FLAIR magnetic resonance.
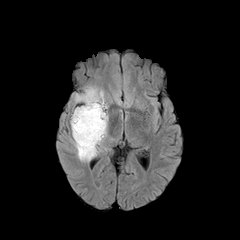
T1-weighted MRI.
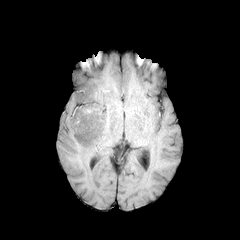
Post-contrast T1-weighted magnetic resonance.
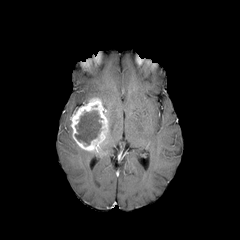
T2-weighted MR image.
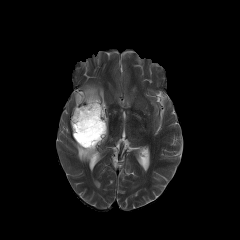
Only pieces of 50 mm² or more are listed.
<segmentation>
  <peritumoral_edema>box(71, 139, 92, 161); box(75, 86, 107, 109)</peritumoral_edema>
  <enhancing_tumor>box(70, 97, 108, 153)</enhancing_tumor>
  <necrotic_tumor_core>box(75, 111, 101, 144)</necrotic_tumor_core>
</segmentation>